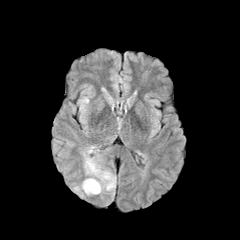
FLAIR magnetic resonance.
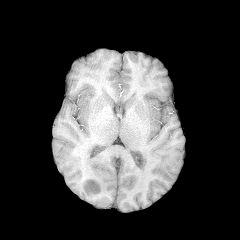
Same slice, T1-weighted MR image.
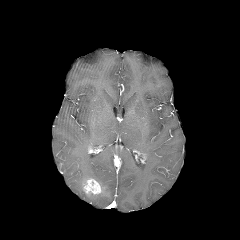
Post-contrast T1-weighted MRI of the same slice.
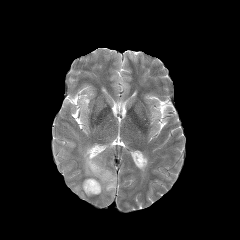
T2-weighted MR of the same slice.
Axial plane
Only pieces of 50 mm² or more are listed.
The enhancing tumor is located at (83, 179, 105, 194). The largest peritumoral edema region appears at (73, 146, 116, 200).